Axial view; Image size 240x240; Image width 240 mm, 1.00 mm slice spacing
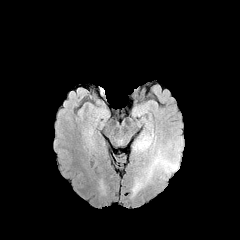
FLAIR magnetic resonance.
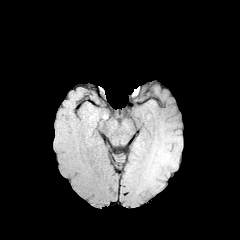
T1-weighted MRI.
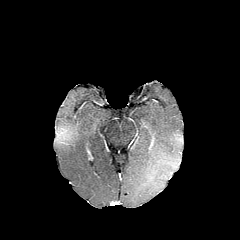
Post-contrast T1-weighted MRI.
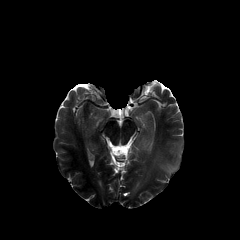
Same slice, T2-weighted MR image.
peritumoral edema: x1=133, y1=124, x2=183, y2=193